Brain. 240x240 px. Slice index 76. Image covers 240 mm x 240 mm.
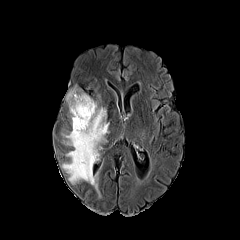
FLAIR MRI.
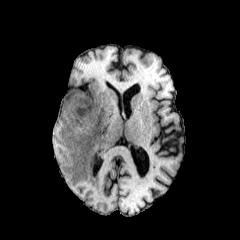
T1-weighted MR image.
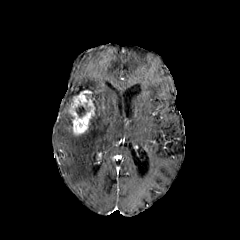
Post-contrast T1-weighted MR image.
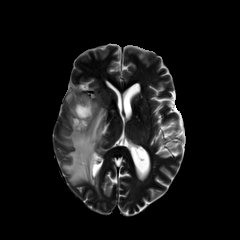
T2-weighted MRI.
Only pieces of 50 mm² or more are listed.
Findings:
- necrotic tumor core: (left=76, top=106, right=86, bottom=116)
- peritumoral edema: (left=62, top=100, right=109, bottom=188), (left=66, top=89, right=78, bottom=105)
- enhancing tumor: (left=69, top=92, right=95, bottom=135)